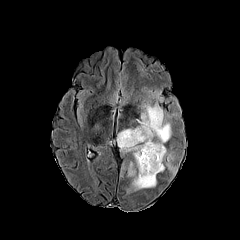
FLAIR MR.
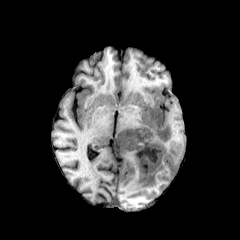
T1-weighted MR image of the same slice.
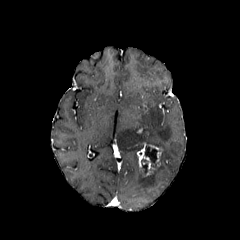
Post-contrast T1-weighted MR image.
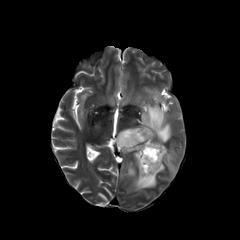
T2-weighted MRI.
Head.
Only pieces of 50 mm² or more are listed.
necrotic tumor core at (x1=145, y1=146, x2=158, y2=162)
peritumoral edema at (x1=117, y1=104, x2=176, y2=192)
enhancing tumor at (x1=137, y1=142, x2=164, y2=178)